FLAIR MR image.
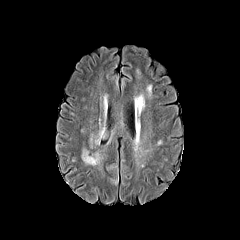
T1-weighted MRI.
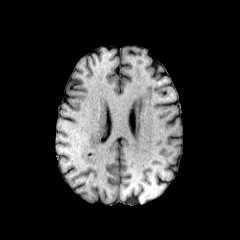
Post-contrast T1-weighted MRI.
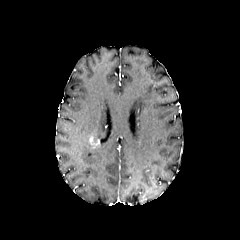
T2-weighted MR.
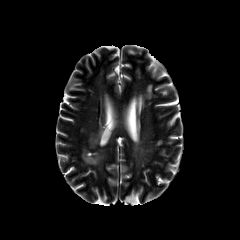
Axial slice; Head
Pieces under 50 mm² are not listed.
{"peritumoral_edema": ["94:127:104:139", "82:149:102:165"], "enhancing_tumor": ["89:135:99:147"]}